FLAIR magnetic resonance.
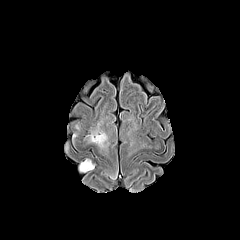
T1-weighted MR.
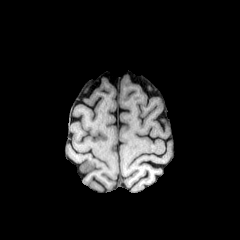
Post-contrast T1-weighted MRI.
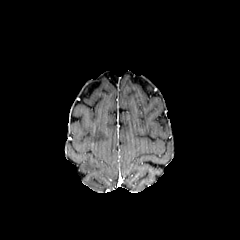
T2-weighted MRI.
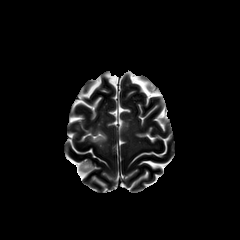
Head. 240x240 px.
* peritumoral edema: box(90, 131, 107, 146); box(79, 159, 94, 171)